Image size 240x240.
FLAIR MR image.
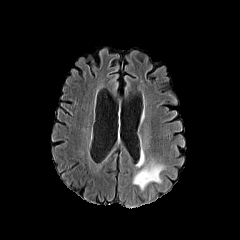
T1-weighted MR.
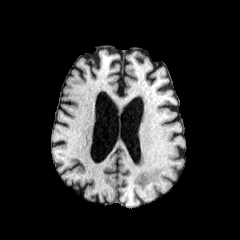
Post-contrast T1-weighted magnetic resonance.
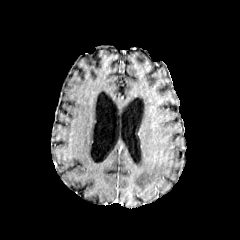
T2-weighted MR image.
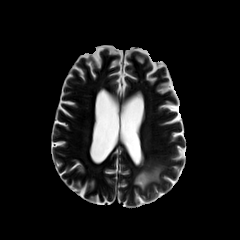
Findings:
• peritumoral edema: 133:164:163:189, 137:150:144:166